Slice 107 of 155, Head, Axial slice, 240x240
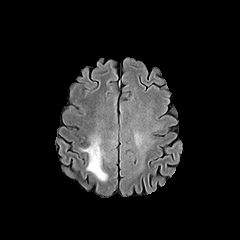
FLAIR magnetic resonance.
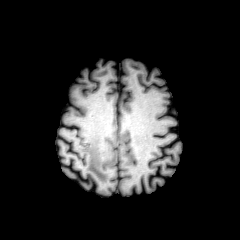
T1-weighted magnetic resonance.
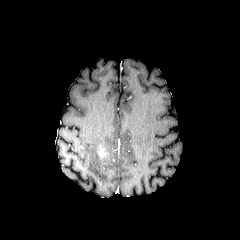
Post-contrast T1-weighted magnetic resonance of the same slice.
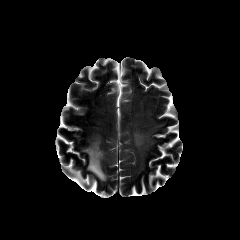
T2-weighted MR image of the same slice.
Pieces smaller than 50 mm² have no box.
The largest peritumoral edema region is at region(81, 135, 107, 181). The enhancing tumor is at region(98, 149, 105, 157).